Head | Image width 240 mm, 1.00 mm slice spacing | Slice 97 of 155 | Axial plane
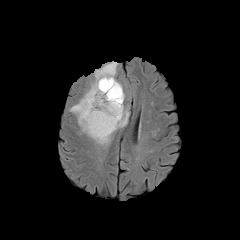
FLAIR MR image.
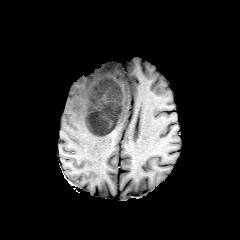
Same slice, T1-weighted MR image.
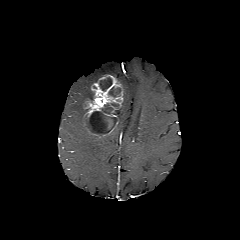
Same slice, post-contrast T1-weighted MRI.
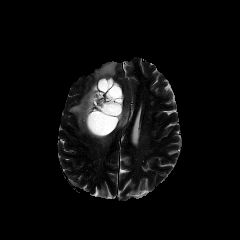
T2-weighted MR image of the same slice.
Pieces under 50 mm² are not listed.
enhancing tumor at [84,74,123,137]
necrotic tumor core at [99,77,112,90], [108,87,120,97], [86,103,117,135]
peritumoral edema at [69,61,129,146]